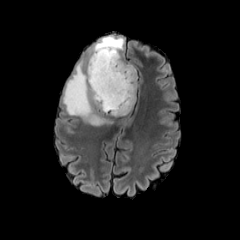
FLAIR MR image.
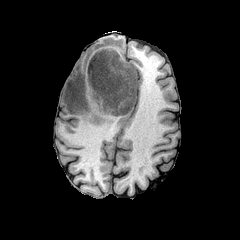
T1-weighted magnetic resonance of the same slice.
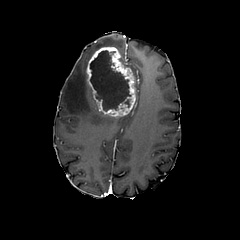
Same slice, post-contrast T1-weighted magnetic resonance.
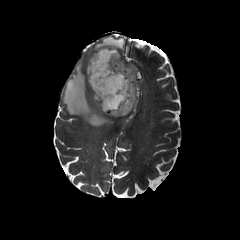
T2-weighted magnetic resonance of the same slice.
Axial plane, Brain
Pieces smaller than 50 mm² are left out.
enhancing tumor: box=[86, 47, 136, 116]
peritumoral edema: box=[120, 55, 136, 88]; box=[62, 36, 124, 126]
necrotic tumor core: box=[90, 50, 131, 111]